FLAIR MR.
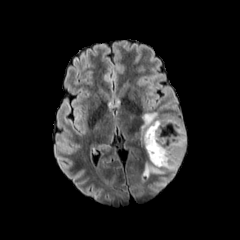
T1-weighted MRI.
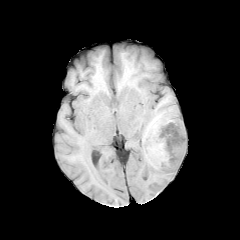
Post-contrast T1-weighted MR image.
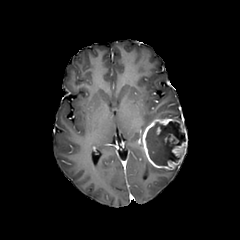
T2-weighted magnetic resonance.
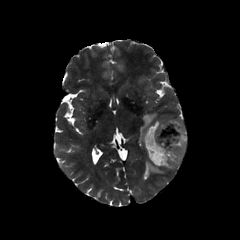
240x240 | Axial slice
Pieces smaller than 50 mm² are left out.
{"necrotic_tumor_core": ["bbox=[145, 121, 185, 165]"], "enhancing_tumor": ["bbox=[141, 118, 187, 169]"], "peritumoral_edema": ["bbox=[140, 112, 178, 134]", "bbox=[142, 162, 178, 177]"]}